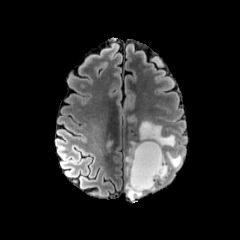
FLAIR MRI.
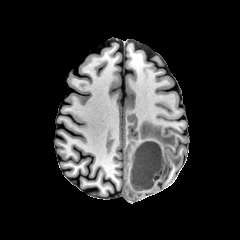
T1-weighted MR image.
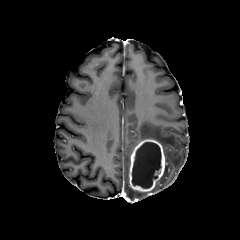
Post-contrast T1-weighted MR image.
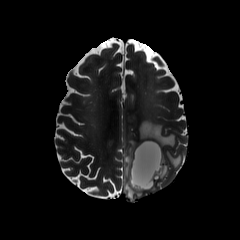
T2-weighted magnetic resonance of the same slice.
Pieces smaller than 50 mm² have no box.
enhancing tumor = x1=129, y1=139, x2=165, y2=193
necrotic tumor core = x1=132, y1=142, x2=161, y2=188
peritumoral edema = x1=124, y1=141, x2=146, y2=200; x1=139, y1=121, x2=182, y2=181